FLAIR MRI.
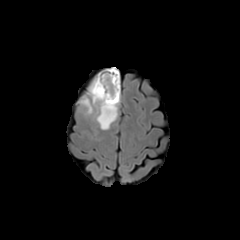
T1-weighted magnetic resonance.
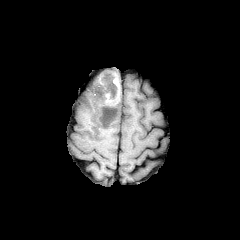
Post-contrast T1-weighted MR image.
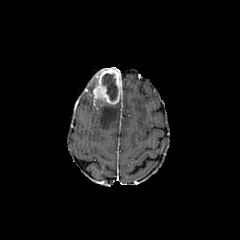
T2-weighted magnetic resonance.
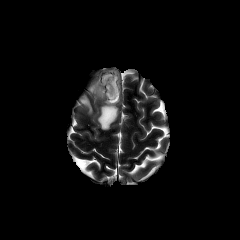
The necrotic tumor core is bounded by x1=102, y1=74, x2=117, y2=100. 3 peritumoral edema regions are located at x1=81, y1=96, x2=92, y2=114; x1=94, y1=101, x2=119, y2=129; x1=89, y1=83, x2=94, y2=100. The enhancing tumor is located at x1=90, y1=68, x2=119, y2=105.